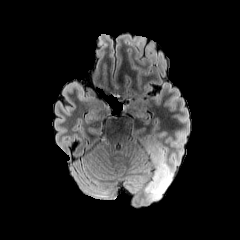
FLAIR MR image.
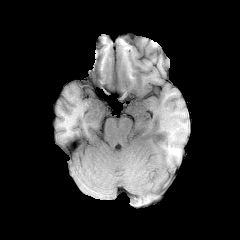
T1-weighted magnetic resonance.
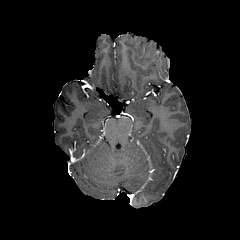
Post-contrast T1-weighted magnetic resonance.
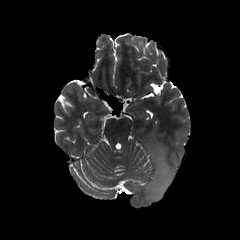
Same slice, T2-weighted MRI.
Image size 240x240. Brain.
peritumoral edema = [x1=142, y1=138, x2=173, y2=201]